FLAIR MRI.
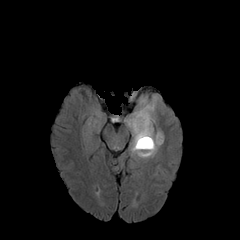
T1-weighted magnetic resonance.
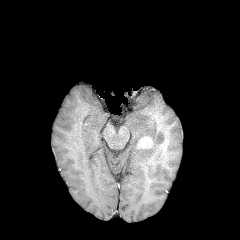
Post-contrast T1-weighted MR image.
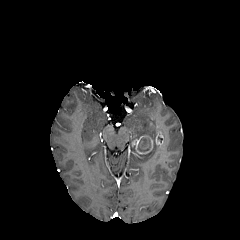
T2-weighted MR.
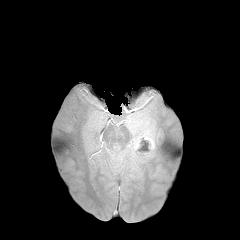
240x240
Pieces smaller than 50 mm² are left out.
Segmented structures:
- necrotic tumor core: [138, 137, 150, 151]
- peritumoral edema: [126, 95, 163, 158]
- enhancing tumor: [155, 132, 163, 144], [132, 136, 152, 154]